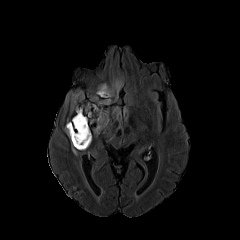
FLAIR MR.
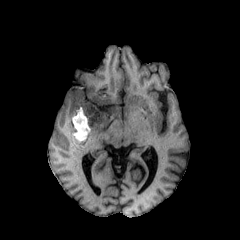
T1-weighted MRI of the same slice.
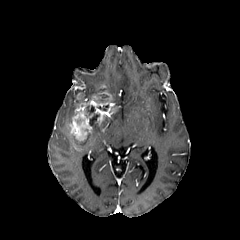
Post-contrast T1-weighted MRI.
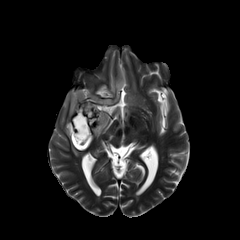
T2-weighted MRI.
Brain | Axial slice
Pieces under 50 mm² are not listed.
necrotic tumor core: bounding box [89,113,99,126], [72,132,89,148], [86,106,93,115]
enhancing tumor: bounding box [68,84,116,144]
peritumoral edema: bounding box [64,118,86,155], [65,90,83,112], [113,107,120,120], [105,79,122,101], [92,117,109,135]